Head; Axial view
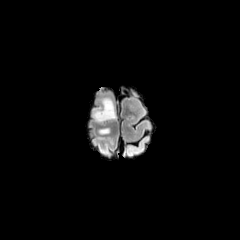
FLAIR magnetic resonance.
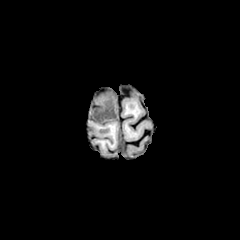
T1-weighted MRI of the same slice.
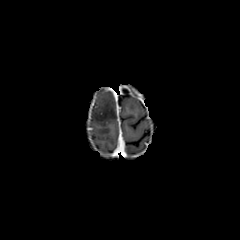
Same slice, post-contrast T1-weighted magnetic resonance.
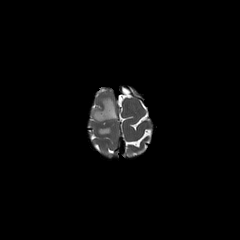
T2-weighted MR.
peritumoral edema = {"x1": 98, "y1": 127, "x2": 110, "y2": 134}, {"x1": 91, "y1": 95, "x2": 116, "y2": 124}